Brain, Image size 240x240
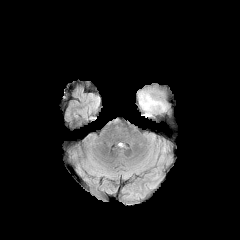
FLAIR MR image.
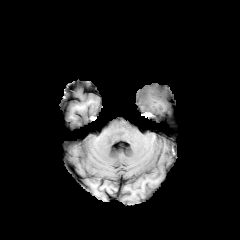
Same slice, T1-weighted magnetic resonance.
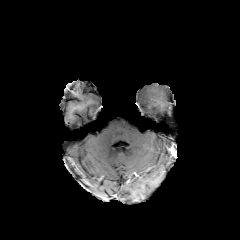
Post-contrast T1-weighted magnetic resonance of the same slice.
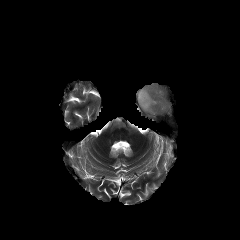
T2-weighted MR image of the same slice.
{"peritumoral_edema": ["(x1=136, y1=84, x2=173, y2=120)"]}